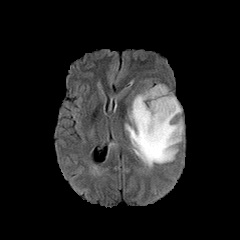
FLAIR magnetic resonance.
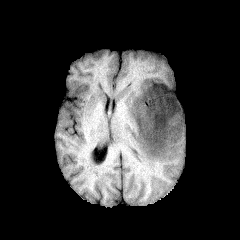
T1-weighted magnetic resonance.
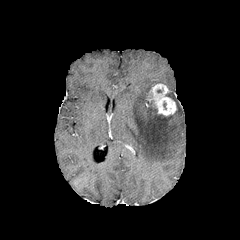
Same slice, post-contrast T1-weighted MR.
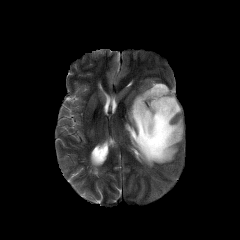
T2-weighted MRI.
Axial slice
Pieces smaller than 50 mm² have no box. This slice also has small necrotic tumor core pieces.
enhancing tumor: box=[147, 83, 177, 116]
peritumoral edema: box=[125, 88, 183, 167]